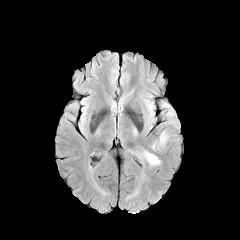
FLAIR MR image.
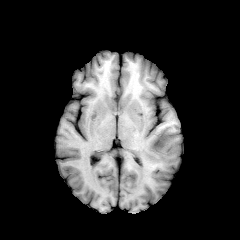
Same slice, T1-weighted magnetic resonance.
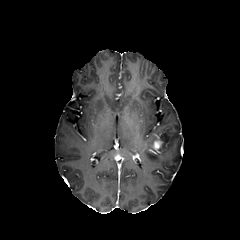
Post-contrast T1-weighted MRI.
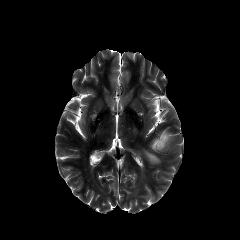
T2-weighted MRI of the same slice.
Head
2 peritumoral edema regions are located at {"x1": 144, "y1": 151, "x2": 160, "y2": 164}, {"x1": 158, "y1": 131, "x2": 169, "y2": 149}. The enhancing tumor lies within {"x1": 152, "y1": 139, "x2": 162, "y2": 151}.